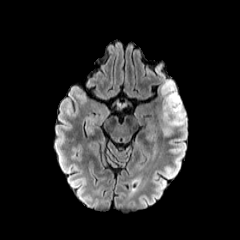
FLAIR MR image.
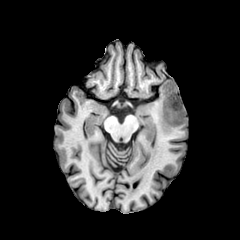
T1-weighted MR.
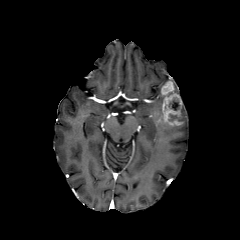
Same slice, post-contrast T1-weighted MR image.
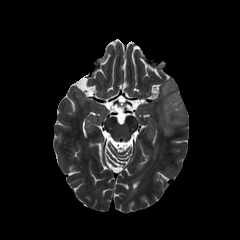
T2-weighted MRI.
240x240 px; Brain; Axial plane
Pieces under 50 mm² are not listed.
necrotic tumor core at {"x1": 172, "y1": 100, "x2": 179, "y2": 110}
peritumoral edema at {"x1": 157, "y1": 103, "x2": 186, "y2": 134}
enhancing tumor at {"x1": 161, "y1": 80, "x2": 183, "y2": 126}